240x240, Slice 48 of 155, Axial slice
FLAIR MR.
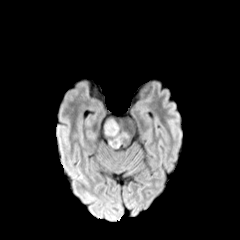
T1-weighted MRI.
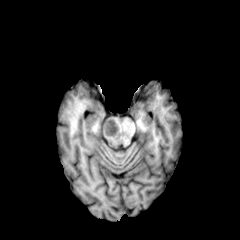
Post-contrast T1-weighted MRI.
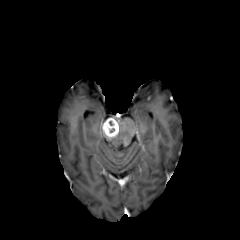
T2-weighted magnetic resonance.
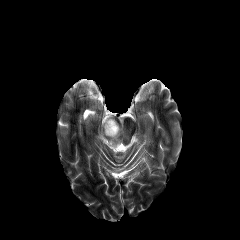
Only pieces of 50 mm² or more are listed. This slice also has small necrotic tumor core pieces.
enhancing tumor: [102, 118, 118, 137] | peritumoral edema: [109, 127, 120, 147]